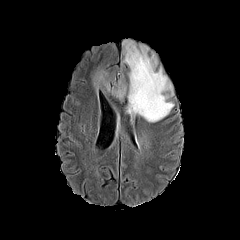
FLAIR MR.
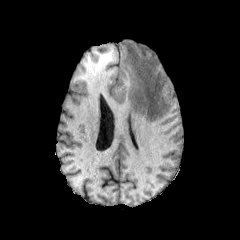
T1-weighted magnetic resonance.
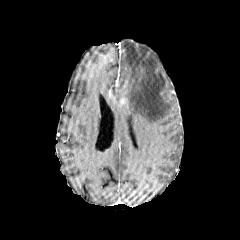
Post-contrast T1-weighted MR.
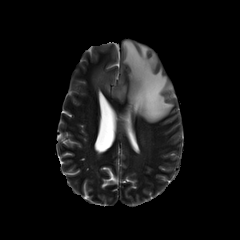
T2-weighted MR image of the same slice.
Brain | 240x240 px | Axial plane
2 peritumoral edema regions are located at (122,39,174,122), (92,69,126,101).